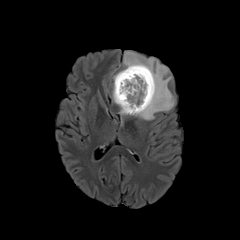
FLAIR MR image.
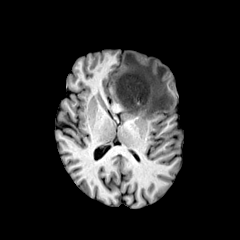
T1-weighted MR.
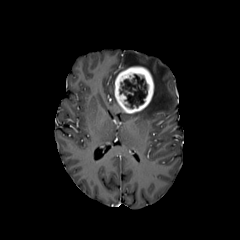
Post-contrast T1-weighted MRI.
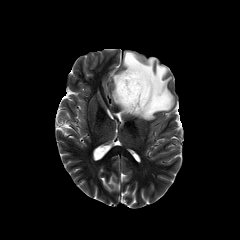
T2-weighted MRI of the same slice.
Brain; 240x240
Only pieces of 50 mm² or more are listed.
<segmentation>
  <peritumoral_edema>(112, 74, 118, 105), (119, 51, 174, 120)</peritumoral_edema>
  <enhancing_tumor>(114, 66, 154, 113)</enhancing_tumor>
  <necrotic_tumor_core>(120, 74, 147, 108)</necrotic_tumor_core>
</segmentation>